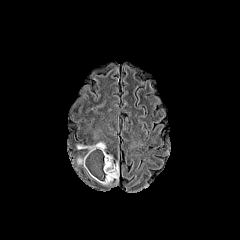
FLAIR MR.
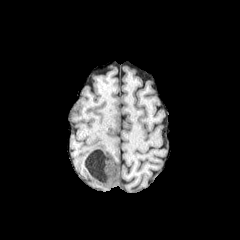
Same slice, T1-weighted MR.
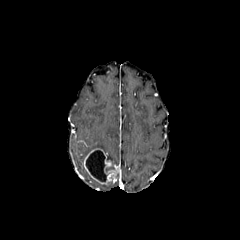
Post-contrast T1-weighted MRI.
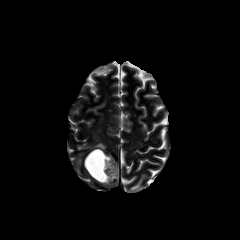
T2-weighted MRI.
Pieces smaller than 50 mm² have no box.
necrotic tumor core — x1=86 y1=150 x2=106 y2=181
enhancing tumor — x1=83 y1=148 x2=118 y2=184
peritumoral edema — x1=77 y1=142 x2=105 y2=151